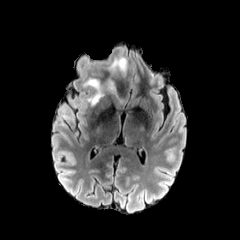
FLAIR magnetic resonance.
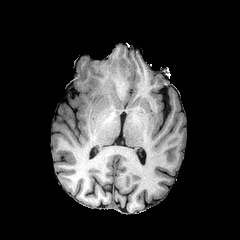
T1-weighted MRI.
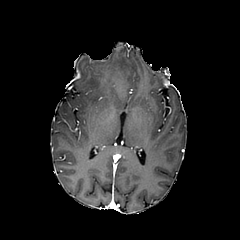
Same slice, post-contrast T1-weighted MR image.
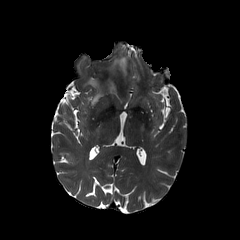
T2-weighted MRI.
240x240 px. Brain. Axial view.
peritumoral_edema:
  - (84,57,127,106)